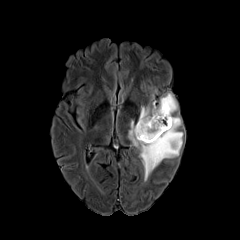
FLAIR MR image.
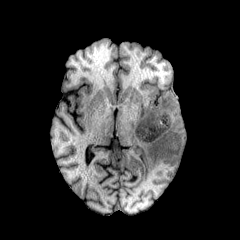
T1-weighted MR image of the same slice.
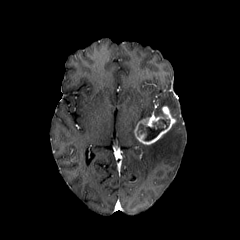
Post-contrast T1-weighted MR of the same slice.
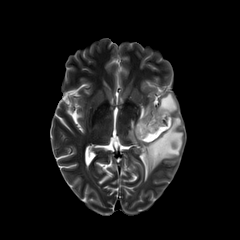
T2-weighted MR.
Head. Axial view.
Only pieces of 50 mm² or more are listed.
enhancing tumor: 134 106 175 144 | peritumoral edema: 138 93 177 121, 128 116 183 181 | necrotic tumor core: 138 119 169 140